Head, Axial plane, Slice 101/155
FLAIR MR image.
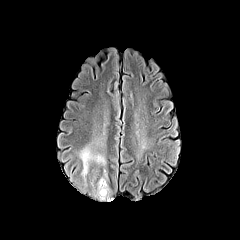
T1-weighted magnetic resonance.
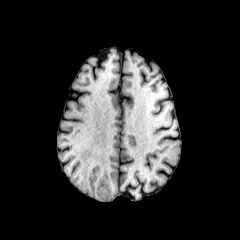
Post-contrast T1-weighted magnetic resonance.
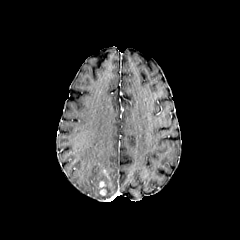
T2-weighted magnetic resonance.
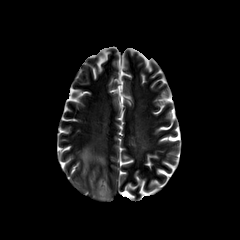
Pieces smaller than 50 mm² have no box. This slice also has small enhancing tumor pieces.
{
  "peritumoral_edema": [
    {"x1": 80, "y1": 147, "x2": 105, "y2": 176},
    {"x1": 96, "y1": 173, "x2": 110, "y2": 199}
  ]
}